Slice 71 of 155 | 240x240
FLAIR MRI.
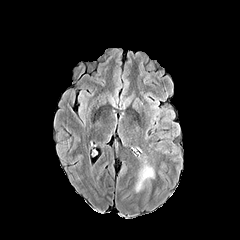
T1-weighted MRI.
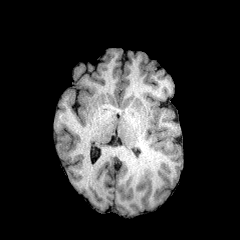
Post-contrast T1-weighted MR image.
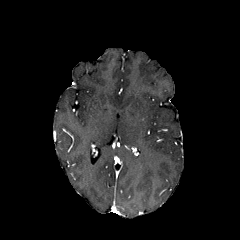
T2-weighted magnetic resonance.
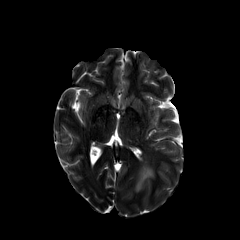
The peritumoral edema is bounded by <bbox>135, 165, 154, 191</bbox>.